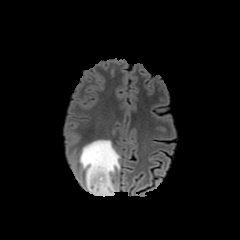
FLAIR magnetic resonance.
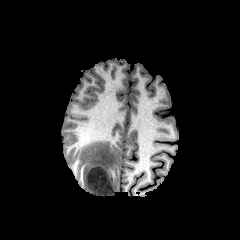
T1-weighted MRI of the same slice.
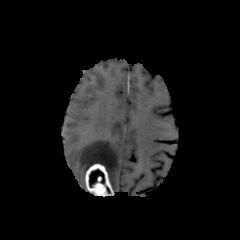
Post-contrast T1-weighted MRI.
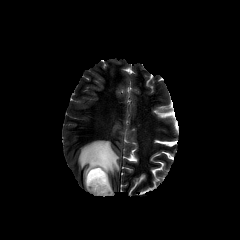
Same slice, T2-weighted MRI.
Brain | 240x240
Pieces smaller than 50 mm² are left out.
<segmentation>
  <peritumoral_edema>region(79, 140, 120, 191)</peritumoral_edema>
  <necrotic_tumor_core>region(89, 169, 104, 187)</necrotic_tumor_core>
  <enhancing_tumor>region(85, 163, 113, 196)</enhancing_tumor>
</segmentation>